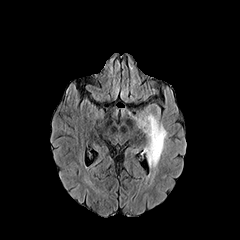
FLAIR MRI.
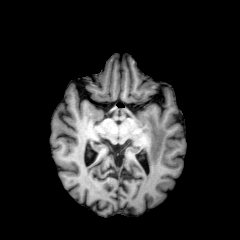
T1-weighted magnetic resonance.
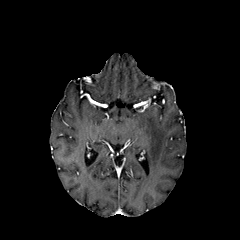
Post-contrast T1-weighted MR.
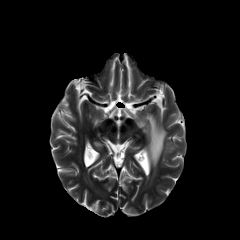
T2-weighted MRI.
The peritumoral edema lies within box(136, 107, 167, 186).